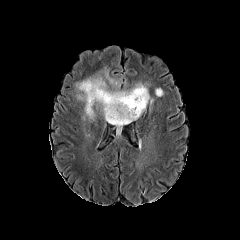
FLAIR MR.
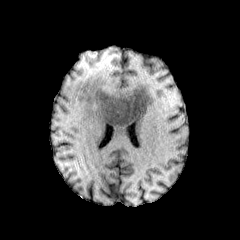
T1-weighted MRI of the same slice.
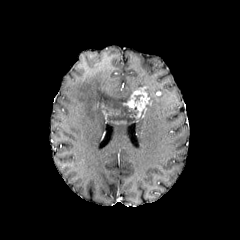
Same slice, post-contrast T1-weighted MR image.
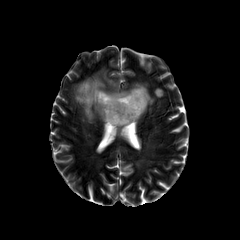
T2-weighted magnetic resonance.
Head.
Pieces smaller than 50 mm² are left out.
<segmentation>
  <enhancing_tumor>bbox=[123, 86, 150, 118]</enhancing_tumor>
  <peritumoral_edema>bbox=[103, 70, 116, 84]; bbox=[76, 71, 147, 120]; bbox=[107, 118, 136, 134]</peritumoral_edema>
  <necrotic_tumor_core>bbox=[101, 103, 138, 124]</necrotic_tumor_core>
</segmentation>